FLAIR magnetic resonance.
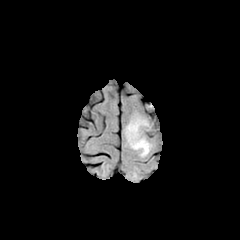
T1-weighted MRI.
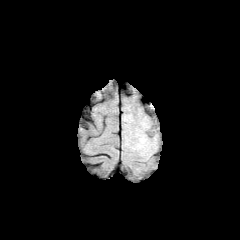
Post-contrast T1-weighted MRI.
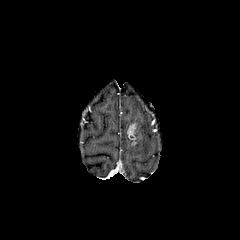
T2-weighted MR.
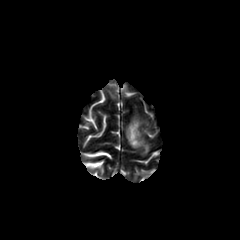
Head
Findings:
• peritumoral edema: region(124, 113, 152, 156)
• enhancing tumor: region(127, 122, 138, 145)